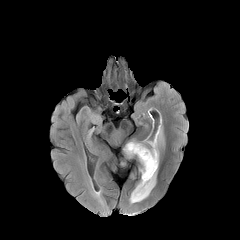
FLAIR magnetic resonance.
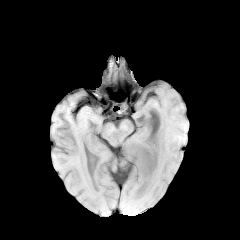
T1-weighted MRI of the same slice.
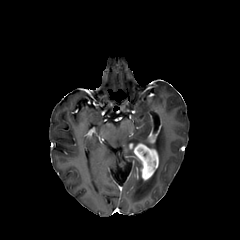
Same slice, post-contrast T1-weighted MR.
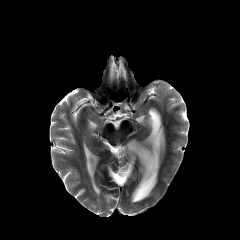
T2-weighted MRI.
Axial slice. Image size 240x240.
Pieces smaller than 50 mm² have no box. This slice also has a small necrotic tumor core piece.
* peritumoral edema: box=[123, 125, 164, 163]; box=[130, 166, 158, 203]
* enhancing tumor: box=[148, 130, 159, 143]; box=[129, 143, 158, 180]